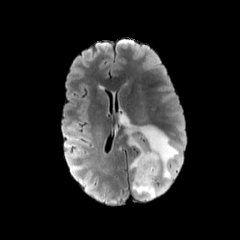
FLAIR MRI.
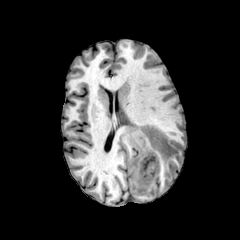
T1-weighted MR of the same slice.
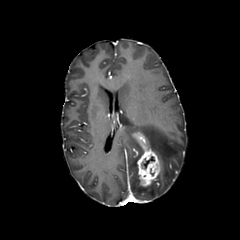
Post-contrast T1-weighted MR of the same slice.
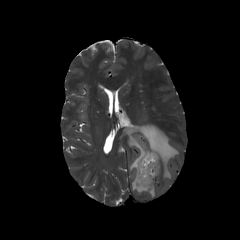
T2-weighted MRI.
Axial view
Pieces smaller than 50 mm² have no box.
The enhancing tumor appears at bbox(134, 132, 160, 186). The largest necrotic tumor core region is at bbox(142, 156, 154, 168). The peritumoral edema lies within bbox(125, 125, 178, 199).